Axial plane. Image width 240 mm. Slice index 74. Brain.
FLAIR MR.
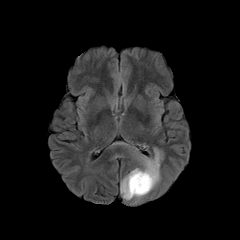
T1-weighted MRI.
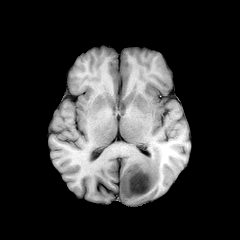
Post-contrast T1-weighted MR.
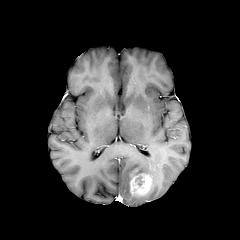
T2-weighted magnetic resonance.
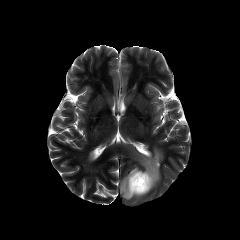
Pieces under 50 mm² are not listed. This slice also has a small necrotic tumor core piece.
enhancing tumor: box(130, 170, 152, 195) | peritumoral edema: box(120, 148, 162, 201)